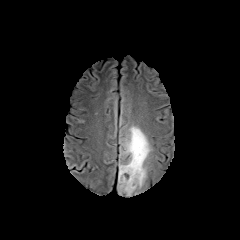
FLAIR MR image.
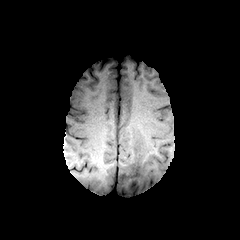
T1-weighted MR of the same slice.
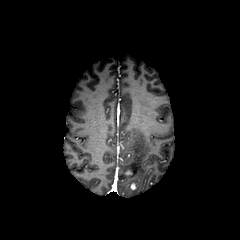
Post-contrast T1-weighted magnetic resonance.
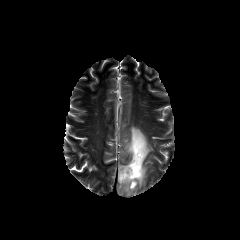
T2-weighted MRI.
Brain, 240x240, Axial plane
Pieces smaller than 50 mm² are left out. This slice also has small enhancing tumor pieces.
Annotated regions:
- peritumoral edema: [x1=118, y1=126, x2=151, y2=195]